Axial slice | Slice 61/155
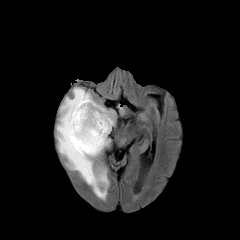
FLAIR MR image.
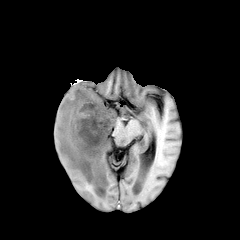
Same slice, T1-weighted MR image.
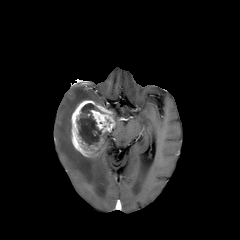
Post-contrast T1-weighted MR image.
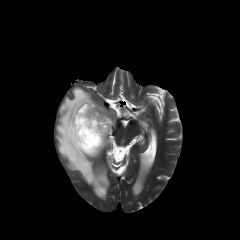
T2-weighted MR.
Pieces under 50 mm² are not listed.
necrotic tumor core: left=77, top=103, right=101, bottom=146 | peritumoral edema: left=56, top=87, right=109, bottom=199 | enhancing tumor: left=71, top=100, right=115, bottom=157